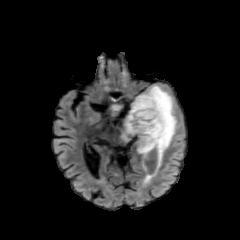
FLAIR magnetic resonance.
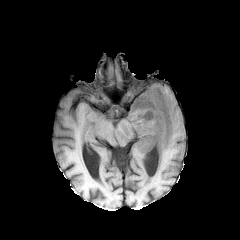
Same slice, T1-weighted MR image.
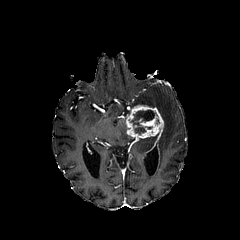
Post-contrast T1-weighted MR of the same slice.
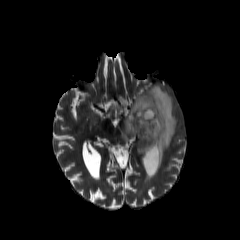
Same slice, T2-weighted MR image.
Head, Axial plane
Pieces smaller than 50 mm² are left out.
<segmentation>
  <peritumoral_edema>box=[132, 137, 156, 184]; box=[131, 84, 177, 176]; box=[120, 114, 133, 141]; box=[112, 104, 123, 116]</peritumoral_edema>
  <enhancing_tumor>box=[125, 104, 164, 176]</enhancing_tumor>
  <necrotic_tumor_core>box=[129, 109, 155, 134]</necrotic_tumor_core>
</segmentation>